Axial slice, Image width 240 mm, Head
FLAIR MR.
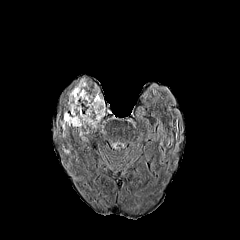
T1-weighted MR image.
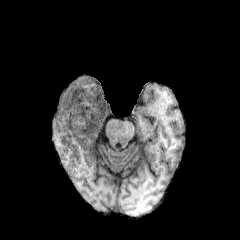
Post-contrast T1-weighted magnetic resonance.
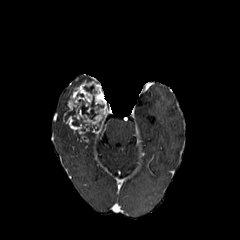
T2-weighted magnetic resonance.
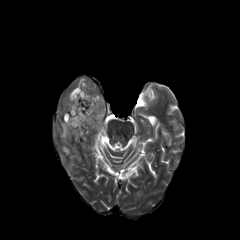
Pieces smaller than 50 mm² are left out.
{"enhancing_tumor": ["63,80,109,141"], "necrotic_tumor_core": ["72,117,85,126", "79,96,96,119", "84,85,93,93", "65,108,75,120"], "peritumoral_edema": ["61,122,67,136"]}